FLAIR MR.
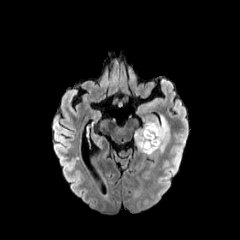
T1-weighted MRI.
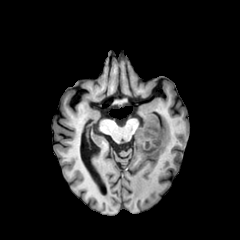
Post-contrast T1-weighted MR image.
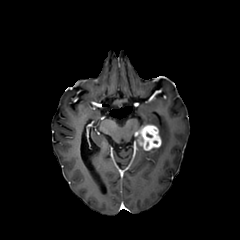
T2-weighted MR.
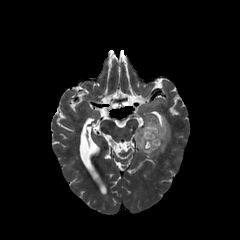
Head.
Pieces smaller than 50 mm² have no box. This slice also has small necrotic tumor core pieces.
enhancing tumor: bounding box 134:124:161:151
peritumoral edema: bounding box 134:115:169:156